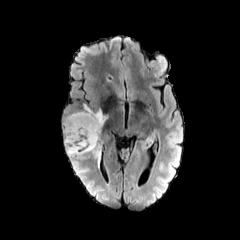
FLAIR MR.
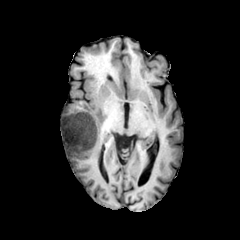
Same slice, T1-weighted magnetic resonance.
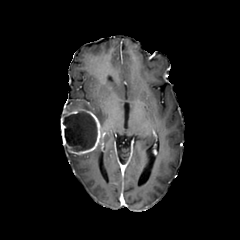
Post-contrast T1-weighted MR image of the same slice.
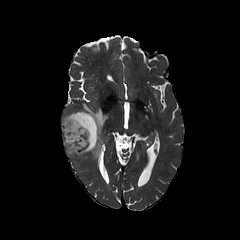
Same slice, T2-weighted MR.
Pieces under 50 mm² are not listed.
enhancing tumor = [x1=61, y1=106, x2=103, y2=155]
necrotic tumor core = [x1=63, y1=111, x2=97, y2=151]
peritumoral edema = [x1=83, y1=104, x2=108, y2=128], [x1=89, y1=139, x2=102, y2=166], [x1=65, y1=147, x2=84, y2=161]